Slice index 61. Head.
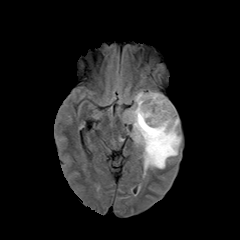
FLAIR MRI.
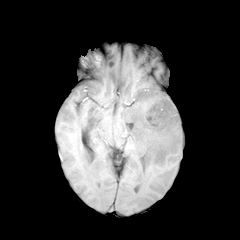
T1-weighted MRI of the same slice.
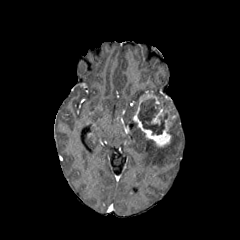
Same slice, post-contrast T1-weighted MRI.
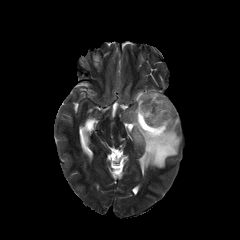
T2-weighted MR image.
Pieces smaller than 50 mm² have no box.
The 2 largest peritumoral edema regions are bounded by x1=153, y1=91, x2=168, y2=100; x1=123, y1=90, x2=181, y2=173. The enhancing tumor is bounded by x1=133, y1=91, x2=176, y2=146. The largest necrotic tumor core region is located at x1=138, y1=98, x2=169, y2=134.